Slice 74 of 155 | 240x240 px | Head
FLAIR magnetic resonance.
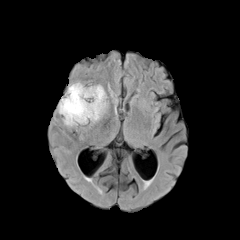
T1-weighted magnetic resonance.
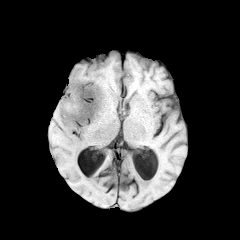
Post-contrast T1-weighted MR image.
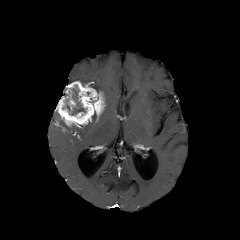
T2-weighted MRI.
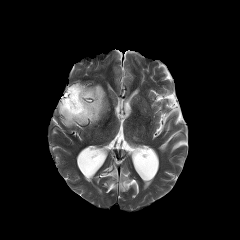
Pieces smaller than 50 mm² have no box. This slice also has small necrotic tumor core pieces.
peritumoral edema: l=90, t=85, r=107, b=119
enhancing tumor: l=56, t=81, r=105, b=127